Brain
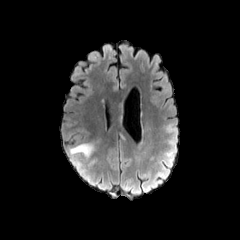
FLAIR MR.
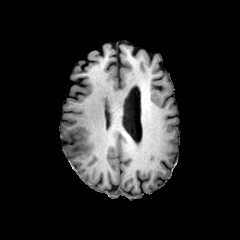
Same slice, T1-weighted MRI.
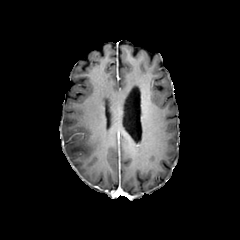
Post-contrast T1-weighted MR image.
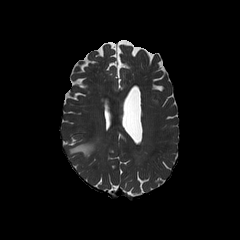
Same slice, T2-weighted magnetic resonance.
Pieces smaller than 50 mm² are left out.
{"peritumoral_edema": ["left=68, top=143, right=94, bottom=157"]}